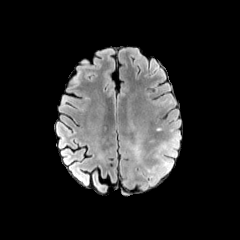
FLAIR MRI.
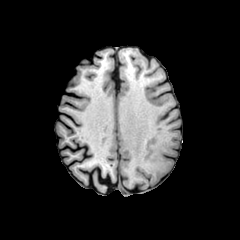
T1-weighted MRI.
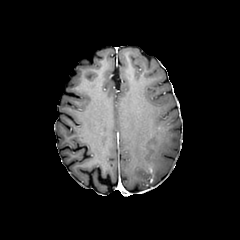
Same slice, post-contrast T1-weighted MR.
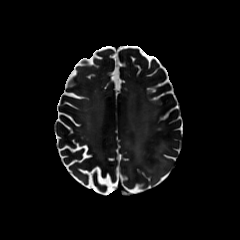
T2-weighted MR image of the same slice.
Brain
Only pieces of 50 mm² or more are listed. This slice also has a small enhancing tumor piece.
peritumoral edema: (x1=130, y1=139, x2=141, y2=161), (x1=146, y1=166, x2=157, y2=183)